Slice 118 of 155. 240x240 px. Axial view. Head. Image width 240 mm, 1.00 mm slice spacing.
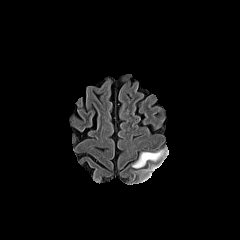
FLAIR MR.
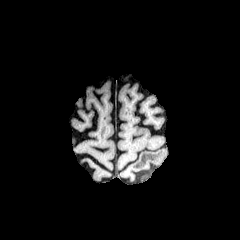
Same slice, T1-weighted MR image.
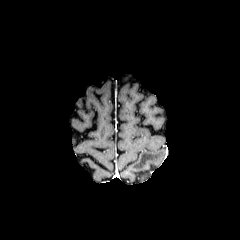
Post-contrast T1-weighted MR image of the same slice.
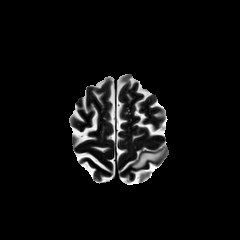
T2-weighted MR of the same slice.
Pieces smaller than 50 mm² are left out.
peritumoral edema = (left=133, top=150, right=164, bottom=168)